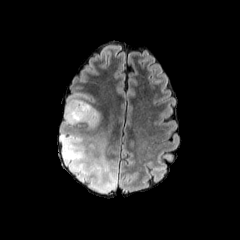
FLAIR MRI.
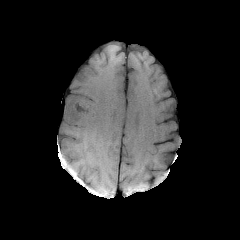
T1-weighted MR image.
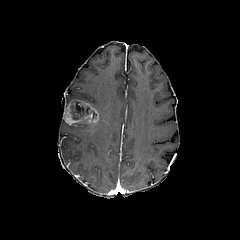
Same slice, post-contrast T1-weighted MRI.
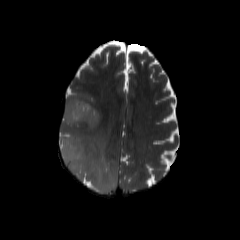
T2-weighted magnetic resonance of the same slice.
240x240; Head
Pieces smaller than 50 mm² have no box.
Findings:
• peritumoral edema: [65, 94, 102, 127], [60, 133, 118, 192]
• necrotic tumor core: [70, 102, 90, 119]
• enhancing tumor: [64, 99, 99, 124]